Axial view | 240x240 px | Head | Slice 130/155
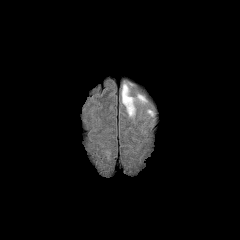
FLAIR magnetic resonance.
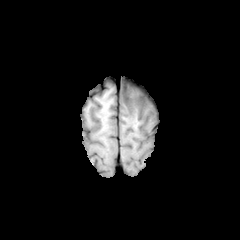
T1-weighted magnetic resonance.
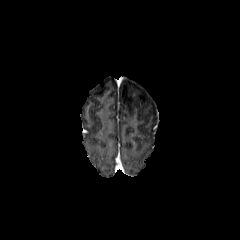
Same slice, post-contrast T1-weighted MRI.
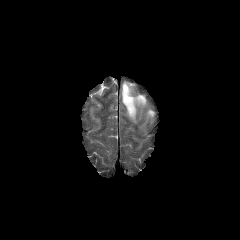
T2-weighted MR of the same slice.
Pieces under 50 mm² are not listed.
The largest peritumoral edema region is at x1=121 y1=83 x2=146 y2=118.